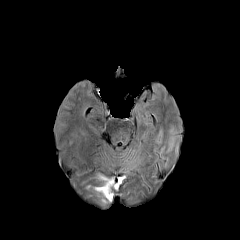
FLAIR MR.
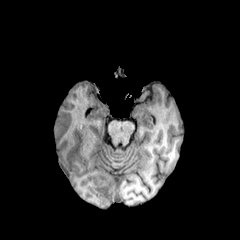
Same slice, T1-weighted MRI.
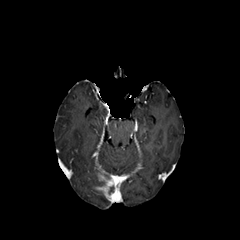
Post-contrast T1-weighted MR image.
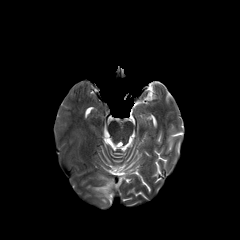
Same slice, T2-weighted MR image.
Axial slice
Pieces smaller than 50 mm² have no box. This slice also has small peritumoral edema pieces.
The enhancing tumor lies within box(95, 174, 119, 201).